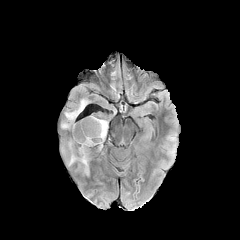
FLAIR MR image.
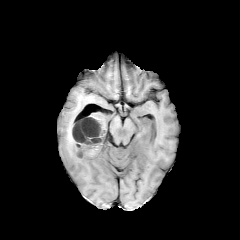
T1-weighted MR image of the same slice.
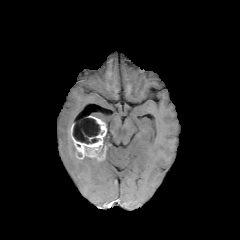
Post-contrast T1-weighted MR.
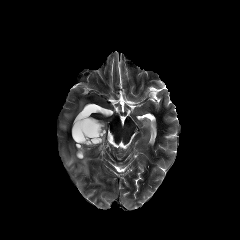
T2-weighted MRI of the same slice.
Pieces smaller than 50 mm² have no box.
peritumoral edema: (66, 142, 90, 177), (61, 99, 86, 132) | enhancing tumor: (71, 116, 106, 161) | necrotic tumor core: (73, 118, 100, 143)